Head. Image covers 240 mm x 240 mm. Axial slice.
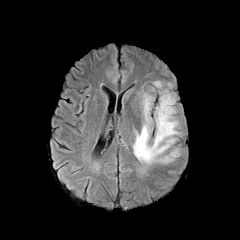
FLAIR MR image.
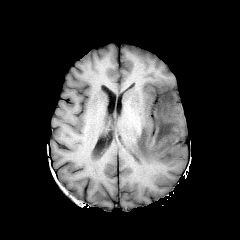
T1-weighted MR image of the same slice.
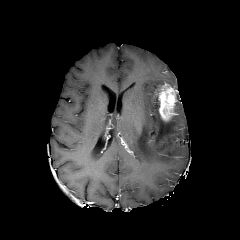
Post-contrast T1-weighted MR.
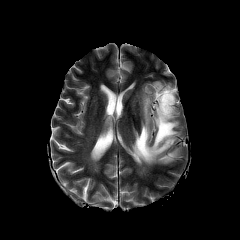
T2-weighted MR image.
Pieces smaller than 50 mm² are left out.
peritumoral edema: bounding box {"x1": 153, "y1": 81, "x2": 163, "y2": 88}, {"x1": 132, "y1": 93, "x2": 179, "y2": 164}
enhancing tumor: bounding box {"x1": 155, "y1": 83, "x2": 176, "y2": 121}